FLAIR MR image.
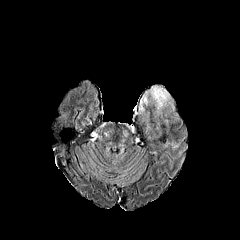
T1-weighted MRI.
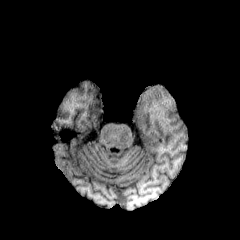
Post-contrast T1-weighted MR image.
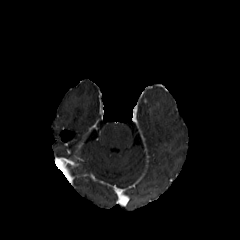
T2-weighted MR.
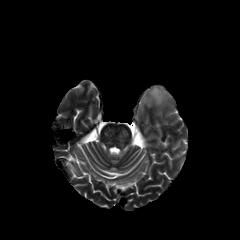
Axial slice | 240x240 px | Head
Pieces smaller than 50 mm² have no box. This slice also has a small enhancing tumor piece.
2 peritumoral edema regions are bounded by (left=140, top=95, right=148, bottom=110), (left=150, top=87, right=169, bottom=109).